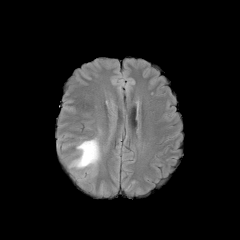
FLAIR MRI.
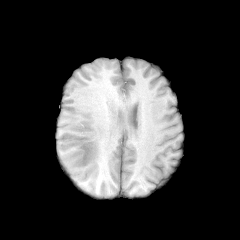
T1-weighted magnetic resonance.
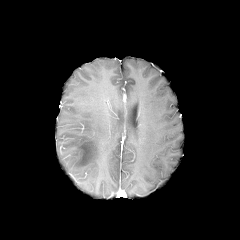
Same slice, post-contrast T1-weighted MR.
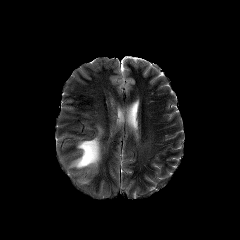
T2-weighted MR image.
Head | 240x240
The peritumoral edema is bounded by 70:137:100:169.